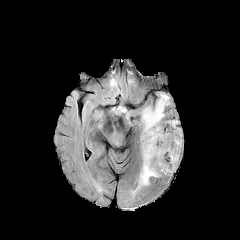
FLAIR MRI.
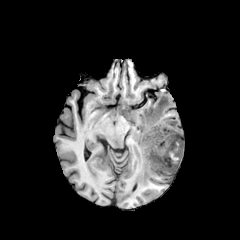
Same slice, T1-weighted MR.
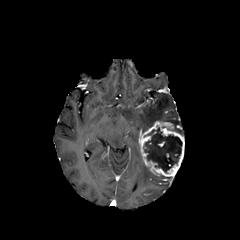
Same slice, post-contrast T1-weighted MR image.
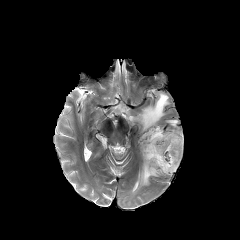
Same slice, T2-weighted MR image.
Axial slice | Head
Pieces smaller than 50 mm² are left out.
The 3 largest peritumoral edema regions are located at rect(166, 120, 181, 133); rect(140, 93, 170, 132); rect(138, 162, 158, 187). The necrotic tumor core is located at rect(144, 128, 182, 172). The largest enhancing tumor region is at rect(139, 121, 184, 176).